Image size 240x240 | Image width 240 mm
FLAIR MR.
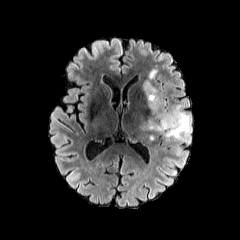
T1-weighted magnetic resonance.
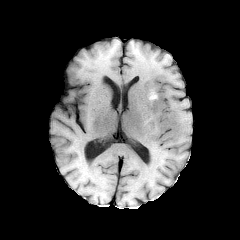
Post-contrast T1-weighted magnetic resonance.
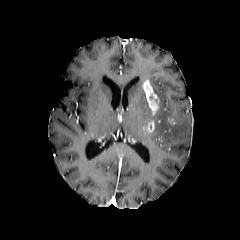
T2-weighted MR.
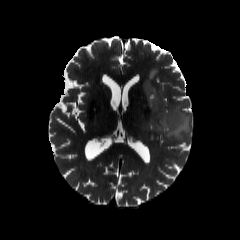
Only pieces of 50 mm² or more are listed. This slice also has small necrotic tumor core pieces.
Annotated regions:
* peritumoral edema: {"x1": 147, "y1": 68, "x2": 158, "y2": 86}, {"x1": 141, "y1": 87, "x2": 191, "y2": 142}
* enhancing tumor: {"x1": 142, "y1": 79, "x2": 160, "y2": 114}, {"x1": 146, "y1": 121, "x2": 155, "y2": 133}